Axial view
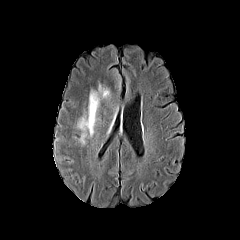
FLAIR magnetic resonance.
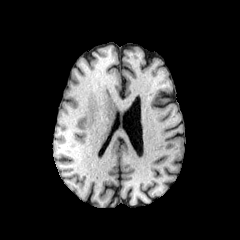
Same slice, T1-weighted magnetic resonance.
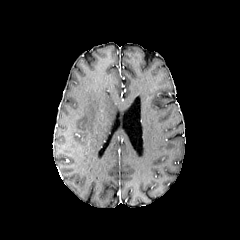
Post-contrast T1-weighted MR.
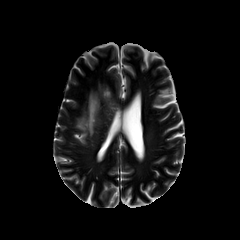
T2-weighted MR of the same slice.
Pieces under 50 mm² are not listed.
peritumoral_edema:
  - [78, 92, 99, 135]